FLAIR MR image.
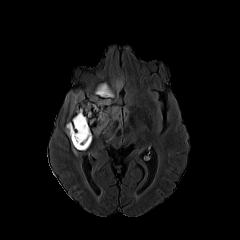
T1-weighted magnetic resonance.
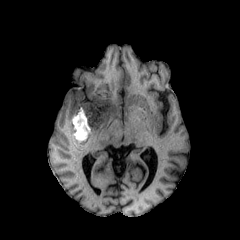
Post-contrast T1-weighted MRI.
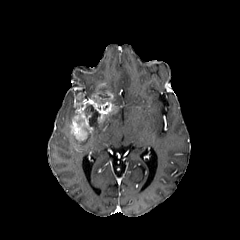
T2-weighted MR.
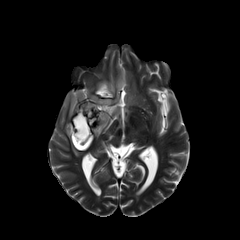
Image size 240x240, Axial slice
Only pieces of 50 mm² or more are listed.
necrotic tumor core: [84,105,99,126], [73,128,89,148]
peritumoral edema: [110,79,122,100], [65,92,77,115], [65,122,79,156], [92,107,121,136]
enhancing tumor: [69,82,117,150]